Brain | Image size 240x240 | Axial plane
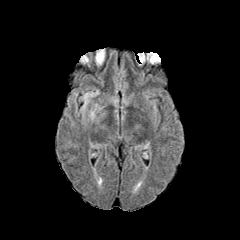
FLAIR MR image.
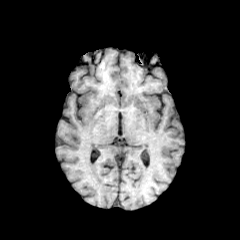
T1-weighted MR.
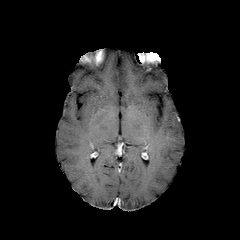
Post-contrast T1-weighted magnetic resonance.
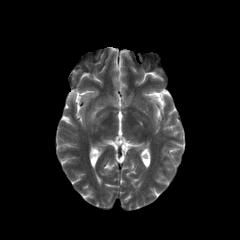
Same slice, T2-weighted MR image.
The peritumoral edema appears at 80,90,105,123.